Axial slice; 240x240; Head; Slice 96/155
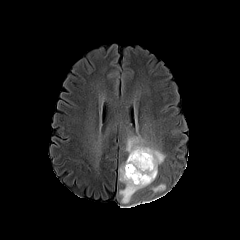
FLAIR MR image.
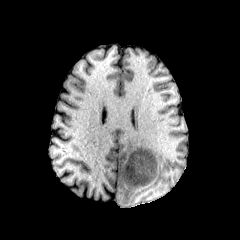
Same slice, T1-weighted magnetic resonance.
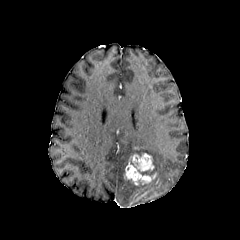
Post-contrast T1-weighted MR of the same slice.
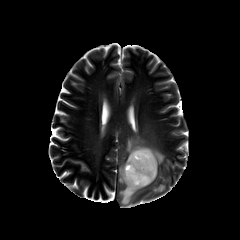
T2-weighted MRI.
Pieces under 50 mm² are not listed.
2 peritumoral edema regions are located at 119, 135, 165, 204; 151, 184, 165, 192. The largest enhancing tumor region appears at 124, 153, 156, 185. The largest necrotic tumor core region appears at 140, 168, 156, 175.